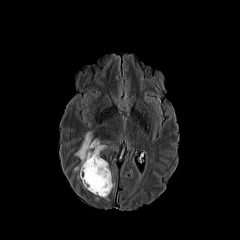
FLAIR MR.
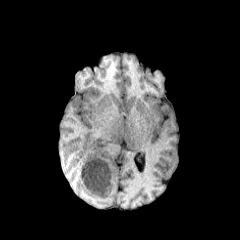
T1-weighted MR.
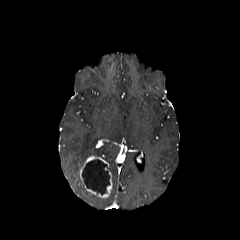
Same slice, post-contrast T1-weighted MRI.
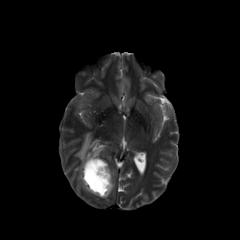
T2-weighted MR.
Axial plane; Image size 240x240
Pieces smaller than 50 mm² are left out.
peritumoral edema at <box>74,132,106,171</box>
enhancing tumor at <box>79,155,112,198</box>
necrotic tumor core at <box>82,159,109,194</box>